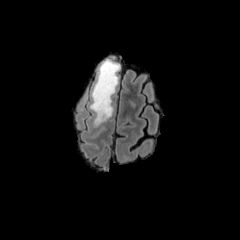
FLAIR MRI.
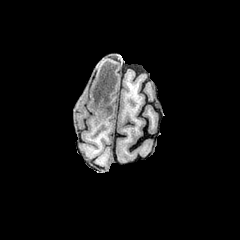
T1-weighted MR image of the same slice.
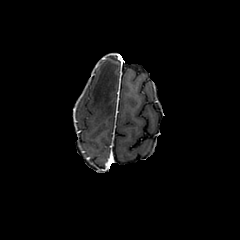
Post-contrast T1-weighted MR of the same slice.
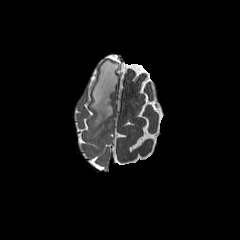
T2-weighted MRI.
Head.
Annotated regions:
* peritumoral edema: region(90, 56, 119, 125)